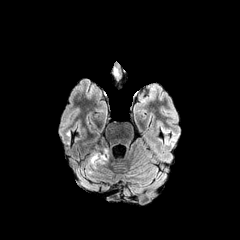
FLAIR MR.
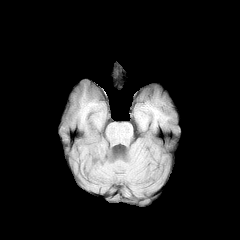
Same slice, T1-weighted MR.
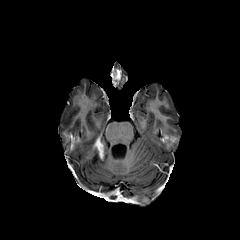
Post-contrast T1-weighted MRI.
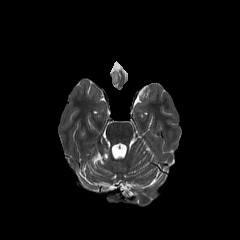
Same slice, T2-weighted MR image.
Axial view. Image size 240x240.
peritumoral edema: bounding box (x1=91, y1=147, x2=108, y2=163)
enhancing tumor: bounding box (x1=112, y1=73, x2=118, y2=85), (x1=97, y1=143, x2=104, y2=159)